Slice index 69. Axial plane. Brain.
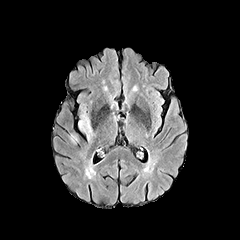
FLAIR MRI.
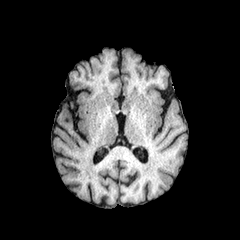
T1-weighted magnetic resonance.
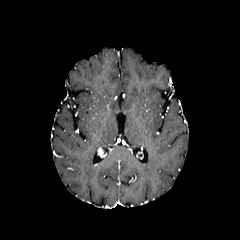
Post-contrast T1-weighted MR.
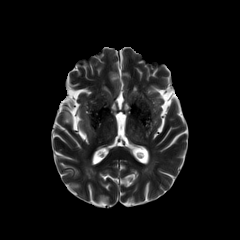
T2-weighted MRI of the same slice.
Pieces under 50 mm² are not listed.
The largest peritumoral edema region lies within bbox=[79, 114, 92, 138].